Slice index 88, Brain, 240x240
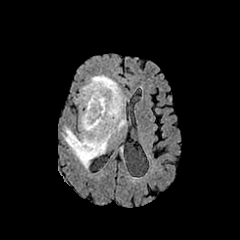
FLAIR MR.
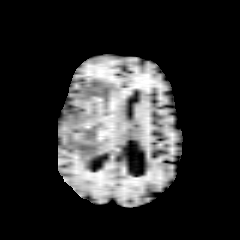
T1-weighted MR of the same slice.
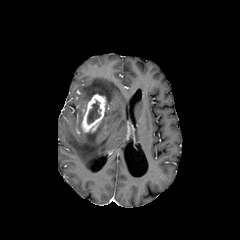
Post-contrast T1-weighted MRI.
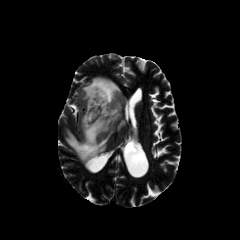
T2-weighted MRI.
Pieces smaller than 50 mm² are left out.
enhancing tumor: bbox(81, 94, 106, 132)
necrotic tumor core: bbox(87, 101, 100, 123)
peritumoral edema: bbox(64, 75, 126, 168)